Head. Image size 240x240. Axial plane. Slice 64 of 155.
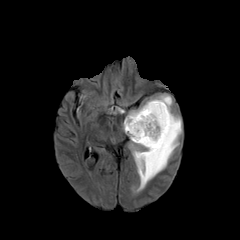
FLAIR MR.
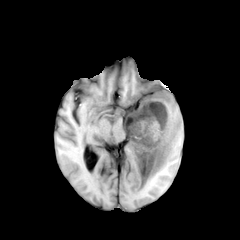
Same slice, T1-weighted MR image.
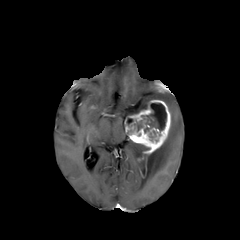
Same slice, post-contrast T1-weighted MRI.
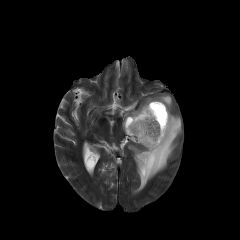
T2-weighted MR image.
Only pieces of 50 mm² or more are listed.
Segmented structures:
- enhancing tumor: 124, 100, 171, 154
- necrotic tumor core: 146, 103, 166, 130
- peritumoral edema: 127, 94, 181, 191